Image covers 240 mm x 240 mm
FLAIR MRI.
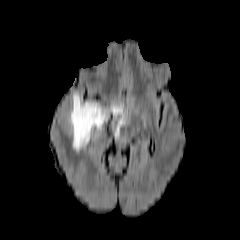
T1-weighted MRI.
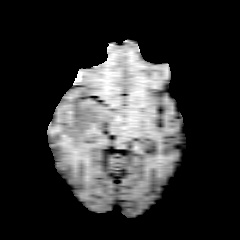
Post-contrast T1-weighted magnetic resonance.
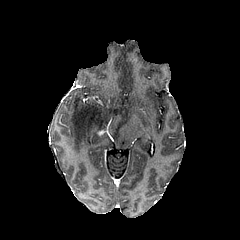
T2-weighted MRI.
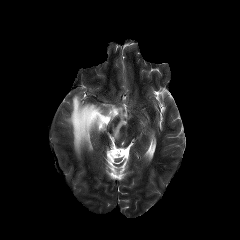
{"peritumoral_edema": ["(67, 93, 126, 152)"]}